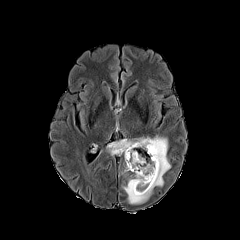
FLAIR MR.
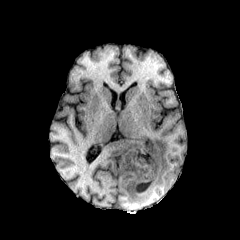
Same slice, T1-weighted MR.
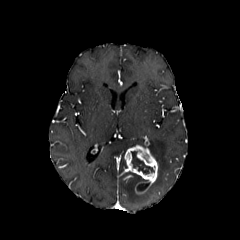
Post-contrast T1-weighted MR.
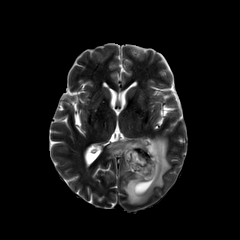
T2-weighted MR image of the same slice.
Axial slice | Brain | 240x240 px
2 peritumoral edema regions are bounded by 122, 136, 170, 204; 108, 138, 145, 154. The enhancing tumor is bounded by 124, 138, 158, 194. 2 necrotic tumor core regions appear at 131, 151, 154, 174; 137, 182, 149, 191.